FLAIR MR image.
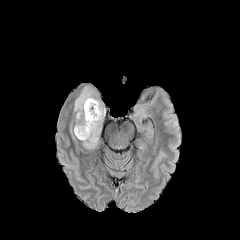
T1-weighted MR image.
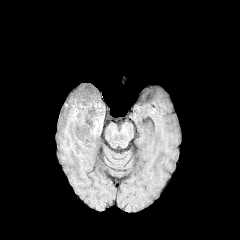
Post-contrast T1-weighted magnetic resonance.
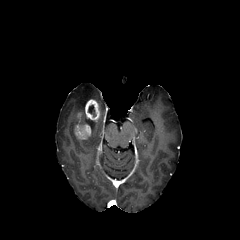
T2-weighted magnetic resonance.
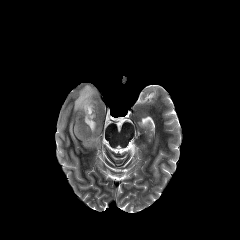
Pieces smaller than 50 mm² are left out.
necrotic tumor core = (x1=88, y1=105, x2=95, y2=116)
peritumoral edema = (x1=74, y1=85, x2=105, y2=149), (x1=70, y1=123, x2=75, y2=139)
enhancing tumor = (x1=85, y1=99, x2=100, y2=120), (x1=74, y1=124, x2=90, y2=139)